FLAIR MR.
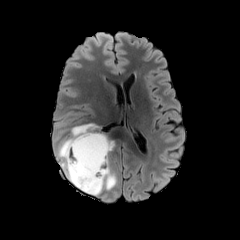
T1-weighted MR.
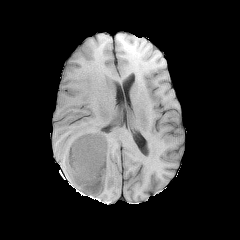
Post-contrast T1-weighted magnetic resonance.
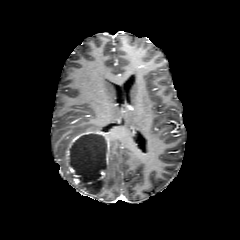
T2-weighted MRI.
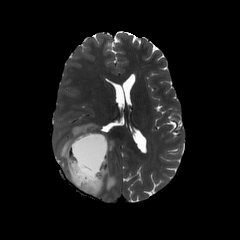
Brain
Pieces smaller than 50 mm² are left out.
<segmentation>
  <necrotic_tumor_core>69:134:107:193</necrotic_tumor_core>
  <enhancing_tumor>65:131:109:196</enhancing_tumor>
  <peritumoral_edema>97:156:116:194, 56:123:97:181</peritumoral_edema>
</segmentation>